Axial plane. Slice 89 of 155. 240x240.
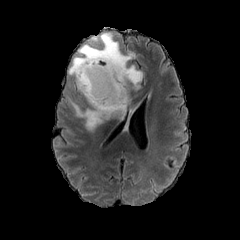
FLAIR magnetic resonance.
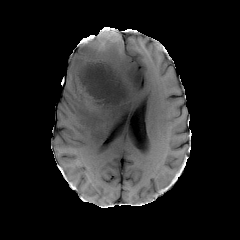
T1-weighted MR.
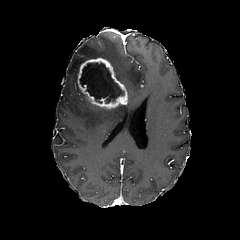
Post-contrast T1-weighted MR.
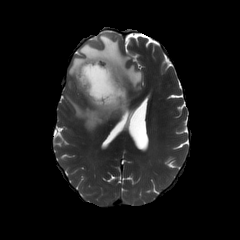
T2-weighted magnetic resonance of the same slice.
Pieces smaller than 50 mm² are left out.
necrotic tumor core at box(80, 63, 123, 103)
peritumoral edema at box(67, 96, 127, 130); box(68, 32, 142, 99)
enhancing tumor at box(77, 57, 128, 109)